Head, Axial plane
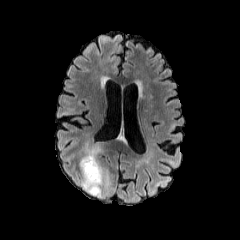
FLAIR MRI.
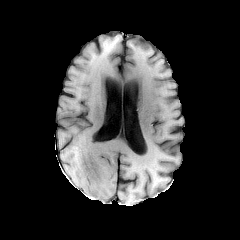
Same slice, T1-weighted MR image.
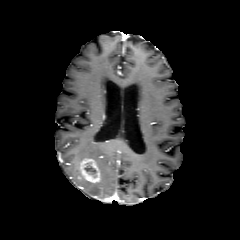
Post-contrast T1-weighted MRI.
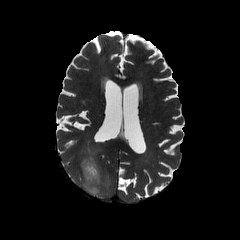
T2-weighted MRI.
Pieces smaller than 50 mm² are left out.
peritumoral edema at (x1=72, y1=144, x2=110, y2=198)
enhancing tumor at (x1=80, y1=157, x2=100, y2=182)
necrotic tumor core at (x1=84, y1=163, x2=96, y2=174)